Slice 128/155. Axial plane.
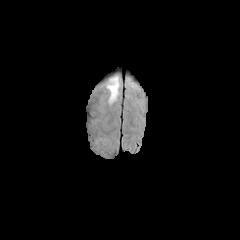
FLAIR MRI.
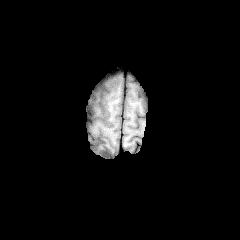
T1-weighted MRI.
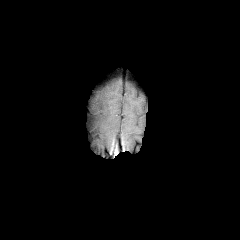
Same slice, post-contrast T1-weighted MR.
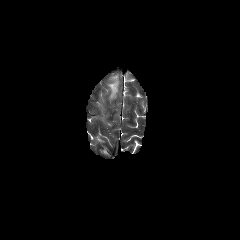
T2-weighted MR.
The peritumoral edema lies within <box>108,76,118,104</box>.